FLAIR MR.
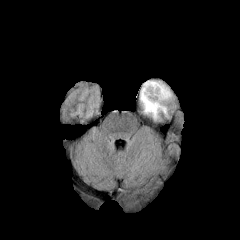
T1-weighted magnetic resonance.
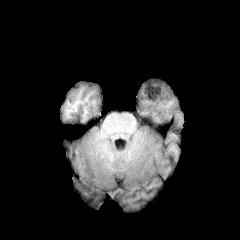
Post-contrast T1-weighted MR image.
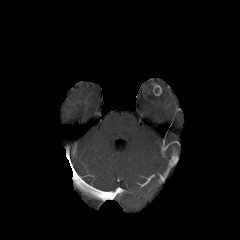
T2-weighted MRI.
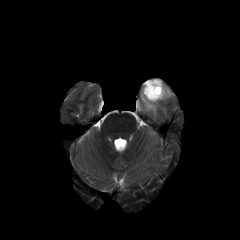
Brain, Axial slice
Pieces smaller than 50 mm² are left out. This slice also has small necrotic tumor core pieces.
Findings:
* enhancing tumor: x1=143 y1=80 x2=162 y2=105
* peritumoral edema: x1=140 y1=80 x2=172 y2=120